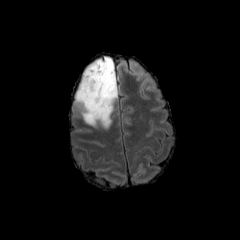
FLAIR magnetic resonance.
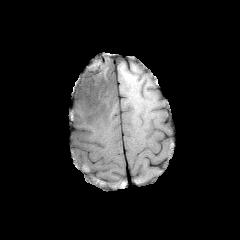
T1-weighted magnetic resonance of the same slice.
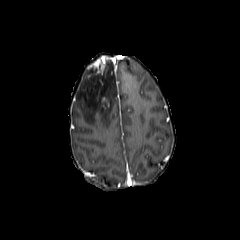
Same slice, post-contrast T1-weighted MRI.
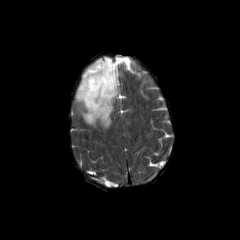
Same slice, T2-weighted MR.
240x240 px; Head
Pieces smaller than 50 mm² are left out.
enhancing tumor — [87, 56, 109, 74]
peritumoral edema — [75, 58, 117, 128]